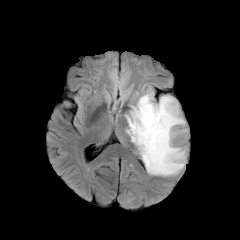
FLAIR MRI.
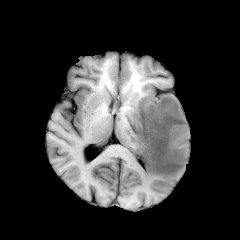
T1-weighted MR.
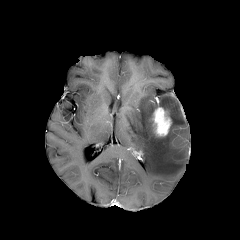
Post-contrast T1-weighted magnetic resonance.
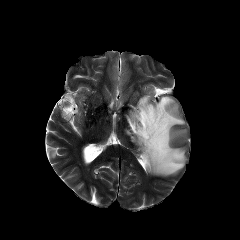
T2-weighted MRI.
240x240. Brain.
The peritumoral edema is located at <bbox>125, 92, 187, 176</bbox>. The enhancing tumor appears at <bbox>152, 107, 171, 136</bbox>.